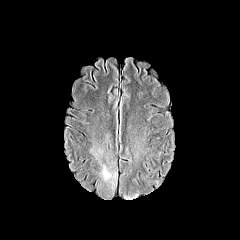
FLAIR MR.
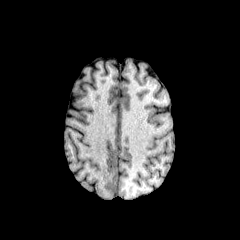
T1-weighted magnetic resonance.
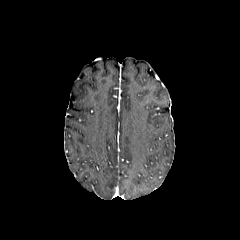
Post-contrast T1-weighted MRI of the same slice.
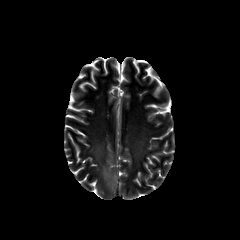
T2-weighted MR image of the same slice.
<segmentation>
  <peritumoral_edema>left=90, top=133, right=117, bottom=189</peritumoral_edema>
</segmentation>